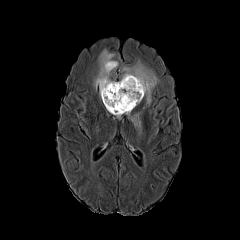
FLAIR MR.
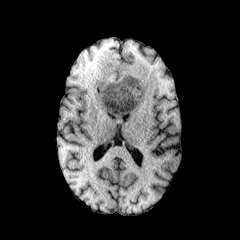
T1-weighted magnetic resonance.
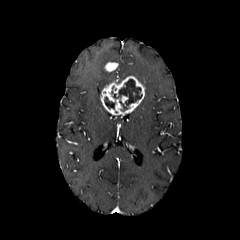
Post-contrast T1-weighted MR.
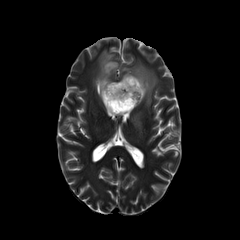
Same slice, T2-weighted MR.
Axial view; Image size 240x240
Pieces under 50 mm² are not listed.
* enhancing tumor: bbox(100, 76, 145, 115); bbox(104, 62, 118, 72)
* peritumoral edema: bbox(118, 61, 158, 104); bbox(131, 113, 141, 131); bbox(94, 49, 117, 94)
* necrotic tumor core: bbox(113, 79, 142, 110); bbox(104, 97, 114, 108)